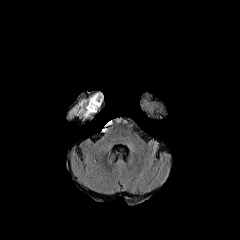
FLAIR MR.
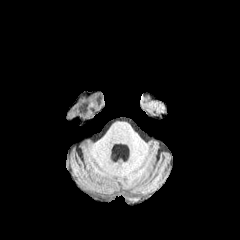
T1-weighted magnetic resonance.
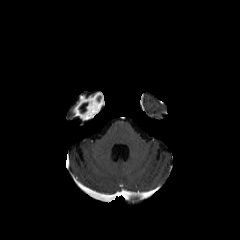
Post-contrast T1-weighted MR of the same slice.
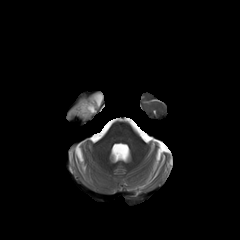
T2-weighted MR of the same slice.
Axial slice
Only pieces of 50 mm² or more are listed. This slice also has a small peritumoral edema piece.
{"necrotic_tumor_core": ["rect(79, 102, 87, 112)"], "enhancing_tumor": ["rect(72, 92, 103, 120)"]}